Image width 240 mm | Image size 240x240
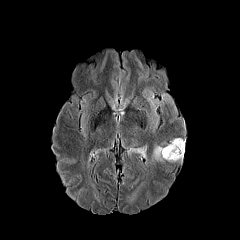
FLAIR MRI.
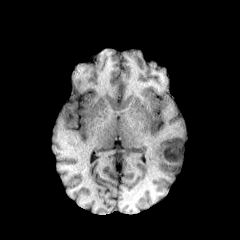
T1-weighted MR image.
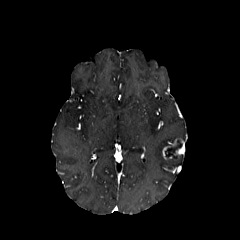
Post-contrast T1-weighted MR.
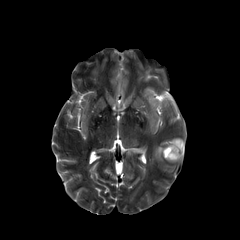
T2-weighted magnetic resonance.
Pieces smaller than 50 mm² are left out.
<segmentation>
  <peritumoral_edema>box(153, 146, 179, 162)</peritumoral_edema>
  <necrotic_tumor_core>box(165, 140, 182, 159)</necrotic_tumor_core>
  <enhancing_tumor>box(162, 139, 183, 159)</enhancing_tumor>
</segmentation>